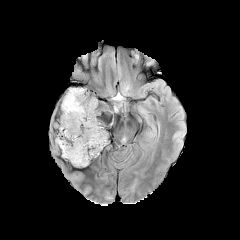
FLAIR MRI.
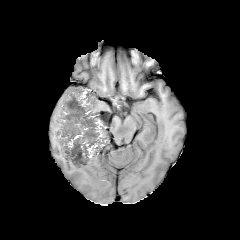
T1-weighted MR of the same slice.
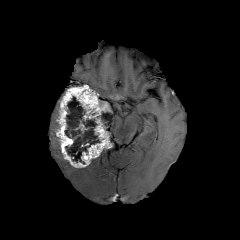
Post-contrast T1-weighted magnetic resonance of the same slice.
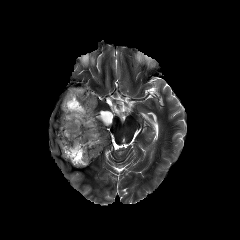
T2-weighted MRI.
Axial view
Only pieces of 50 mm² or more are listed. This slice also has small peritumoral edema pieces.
enhancing tumor: bounding box (left=56, top=85, right=111, bottom=167), (left=75, top=121, right=88, bottom=132)
necrotic tumor core: bounding box (left=65, top=96, right=100, bottom=163), (left=97, top=111, right=111, bottom=127)